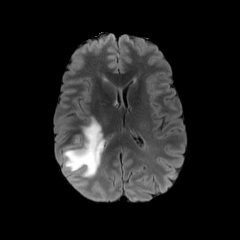
FLAIR MR image.
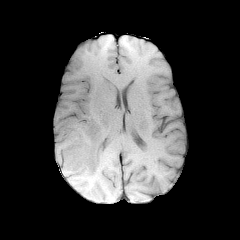
T1-weighted MR of the same slice.
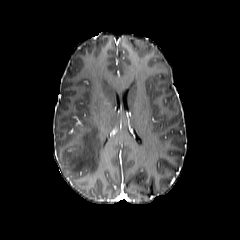
Post-contrast T1-weighted MRI.
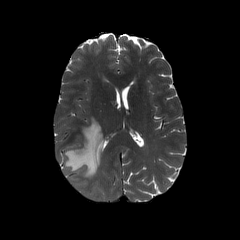
T2-weighted MRI.
Head.
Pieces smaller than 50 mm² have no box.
peritumoral edema at <box>62,117,104,179</box>